FLAIR MR image.
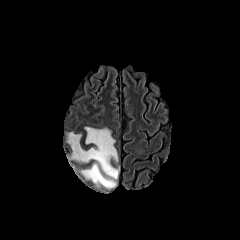
T1-weighted MR.
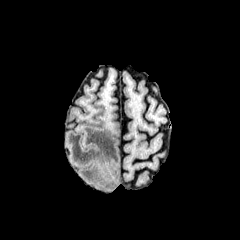
Post-contrast T1-weighted MR image.
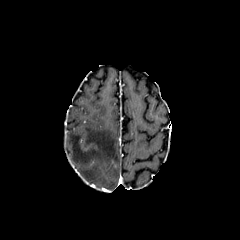
T2-weighted magnetic resonance.
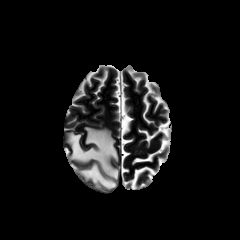
Head, 240x240 px
peritumoral edema: bounding box [x1=67, y1=127, x2=119, y2=189]